Head
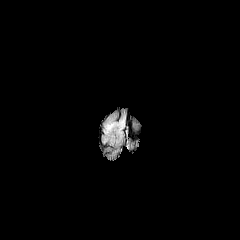
FLAIR MRI.
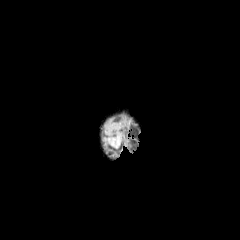
T1-weighted MRI.
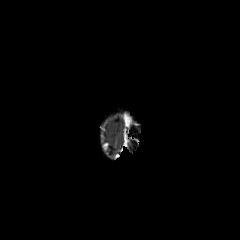
Same slice, post-contrast T1-weighted MR.
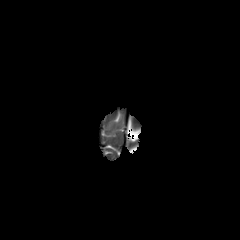
T2-weighted MR image.
peritumoral edema: bounding box [106, 122, 122, 132]